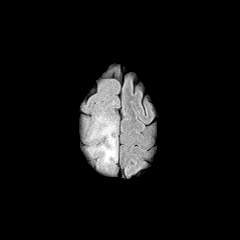
FLAIR MR.
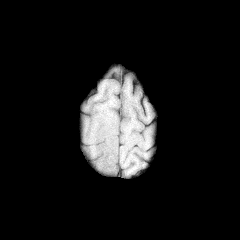
Same slice, T1-weighted MR.
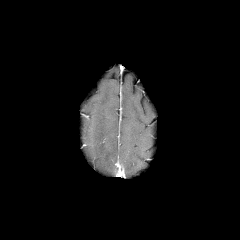
Same slice, post-contrast T1-weighted MRI.
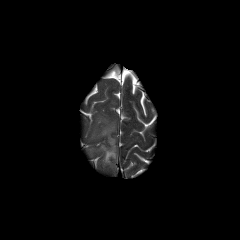
T2-weighted MRI.
Findings:
- peritumoral edema: <bbox>88, 115, 117, 166</bbox>